FLAIR MRI.
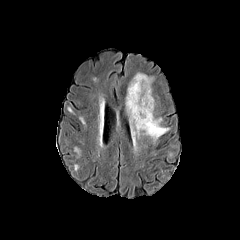
T1-weighted magnetic resonance.
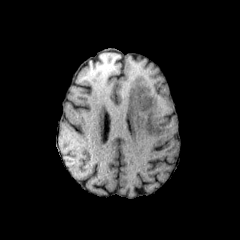
Post-contrast T1-weighted MRI.
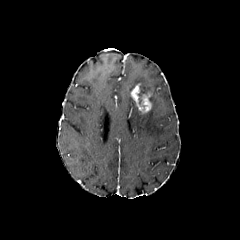
T2-weighted MR image.
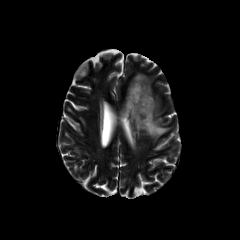
Axial slice; Brain
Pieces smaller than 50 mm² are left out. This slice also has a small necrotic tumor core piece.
enhancing tumor = {"x1": 130, "y1": 83, "x2": 152, "y2": 113}
peritumoral edema = {"x1": 125, "y1": 73, "x2": 169, "y2": 142}